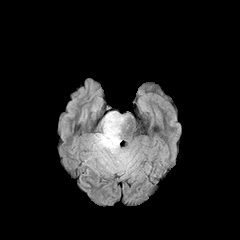
FLAIR MRI.
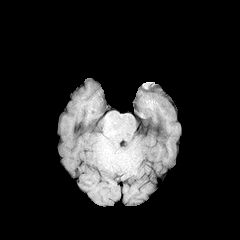
Same slice, T1-weighted MR.
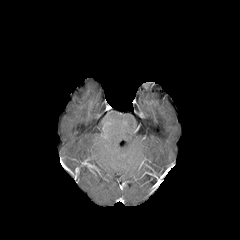
Same slice, post-contrast T1-weighted MRI.
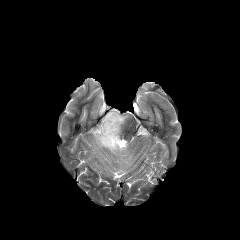
T2-weighted MR.
Head. Image size 240x240.
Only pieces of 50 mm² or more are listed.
The largest peritumoral edema region is located at <box>87,111,134,173</box>.